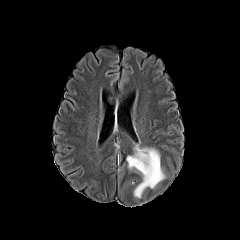
FLAIR MR.
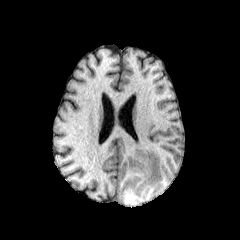
T1-weighted MR.
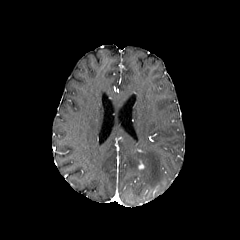
Same slice, post-contrast T1-weighted MR.
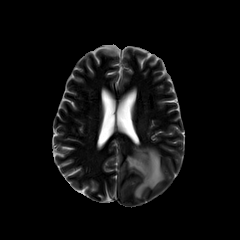
T2-weighted MRI of the same slice.
240x240 px
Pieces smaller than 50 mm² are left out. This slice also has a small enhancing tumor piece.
peritumoral edema: bounding box (x1=126, y1=145, x2=164, y2=197)